Axial slice
FLAIR magnetic resonance.
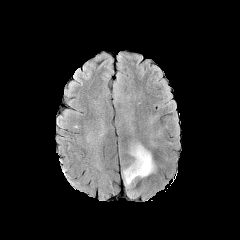
T1-weighted MR image.
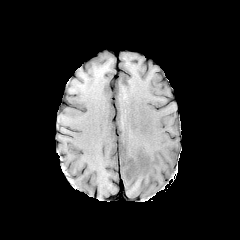
Post-contrast T1-weighted MRI.
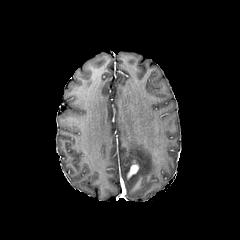
T2-weighted MR image.
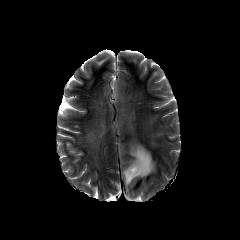
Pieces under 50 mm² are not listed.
• peritumoral edema: 122, 142, 155, 188
• enhancing tumor: 127, 160, 138, 178